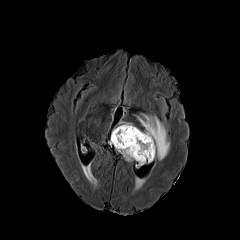
FLAIR MR image.
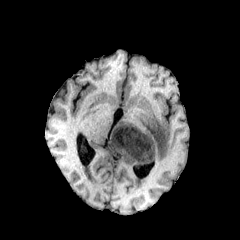
T1-weighted MR image of the same slice.
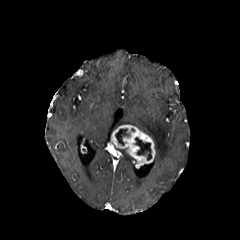
Post-contrast T1-weighted MRI.
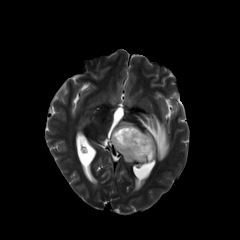
T2-weighted MR image.
Axial view, 240x240 px
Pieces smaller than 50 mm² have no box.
{"peritumoral_edema": ["bbox(116, 149, 134, 161)", "bbox(136, 114, 169, 160)"], "necrotic_tumor_core": ["bbox(135, 137, 151, 160)", "bbox(115, 128, 129, 145)"], "enhancing_tumor": ["bbox(110, 124, 155, 164)"]}